FLAIR MR.
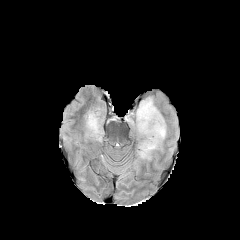
T1-weighted MR.
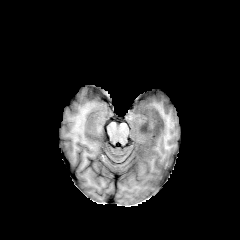
Post-contrast T1-weighted MRI.
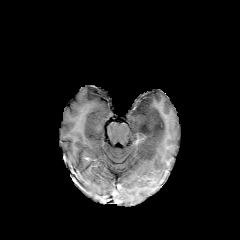
T2-weighted MR.
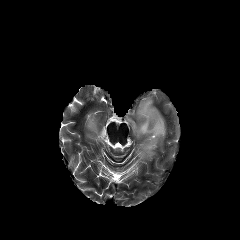
Axial view, 240x240 px
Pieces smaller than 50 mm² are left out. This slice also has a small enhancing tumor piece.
2 peritumoral edema regions appear at x1=120, y1=97, x2=166, y2=177; x1=86, y1=115, x2=102, y2=141.